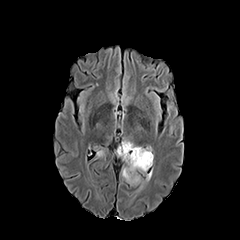
FLAIR MR image.
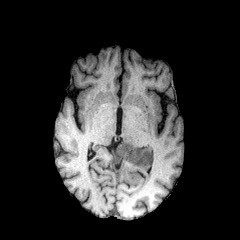
T1-weighted MR.
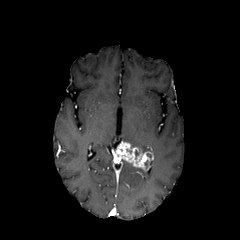
Post-contrast T1-weighted magnetic resonance.
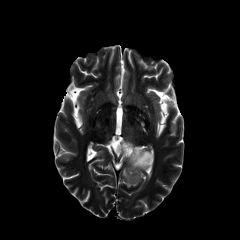
T2-weighted MRI of the same slice.
240x240; Axial slice
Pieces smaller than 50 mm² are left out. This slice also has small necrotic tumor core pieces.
The enhancing tumor appears at (114, 141, 153, 171). The largest peritumoral edema region appears at (122, 163, 144, 183).